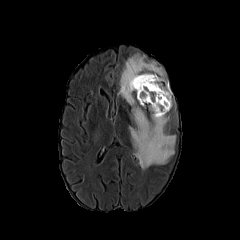
FLAIR MRI.
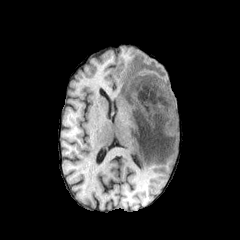
T1-weighted MRI.
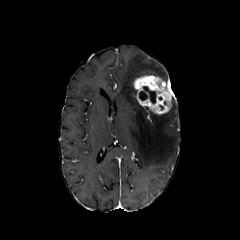
Post-contrast T1-weighted magnetic resonance.
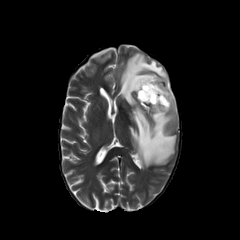
T2-weighted MR image.
Head. Axial slice.
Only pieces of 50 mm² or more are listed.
necrotic tumor core = box=[139, 86, 155, 103]
enhancing tumor = box=[133, 75, 174, 114]
peritumoral edema = box=[118, 53, 176, 169]